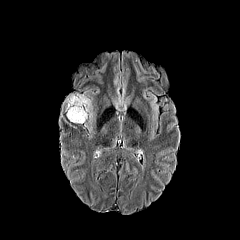
FLAIR MR.
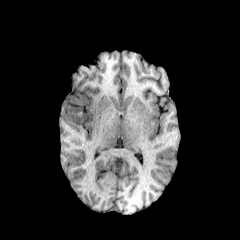
T1-weighted magnetic resonance.
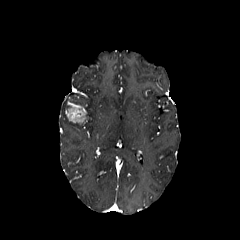
Same slice, post-contrast T1-weighted MR.
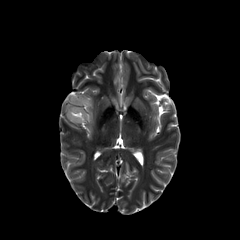
T2-weighted MRI of the same slice.
Axial plane
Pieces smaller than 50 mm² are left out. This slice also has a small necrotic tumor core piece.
The largest peritumoral edema region is located at [70, 95, 92, 111]. The enhancing tumor is at [65, 101, 87, 124].